FLAIR MR image.
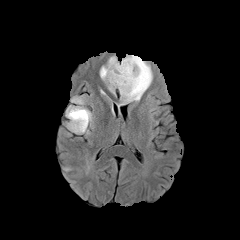
T1-weighted MR.
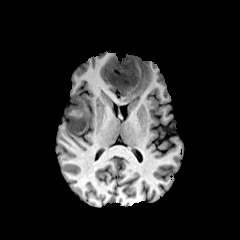
Post-contrast T1-weighted MRI.
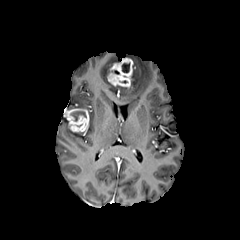
T2-weighted MR.
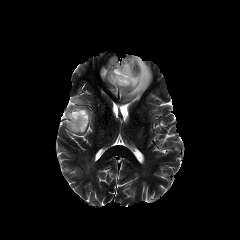
Brain
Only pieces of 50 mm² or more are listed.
{
  "necrotic_tumor_core": [
    "<box>71,111,86,120</box>",
    "<box>122,63,129,72</box>"
  ],
  "enhancing_tumor": [
    "<box>107,57,134,87</box>",
    "<box>65,108,89,132</box>"
  ],
  "peritumoral_edema": [
    "<box>100,55,152,104</box>",
    "<box>71,97,83,104</box>"
  ]
}